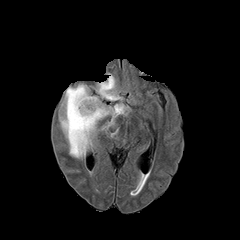
FLAIR MR image.
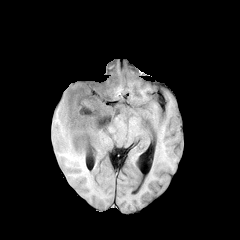
T1-weighted magnetic resonance.
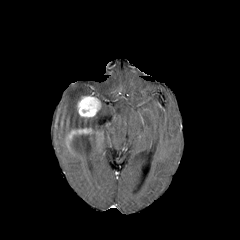
Post-contrast T1-weighted MR image.
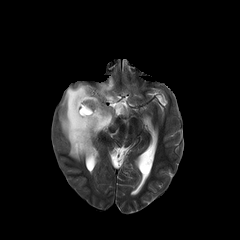
T2-weighted MR image.
Axial slice
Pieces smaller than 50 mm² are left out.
The largest peritumoral edema region is bounded by <box>59,75,129,159</box>. 2 enhancing tumor regions appear at <box>76,95,101,121</box>, <box>67,127,93,141</box>.